Head
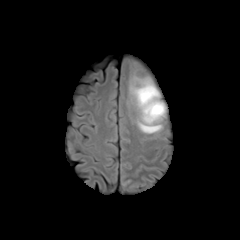
FLAIR MRI.
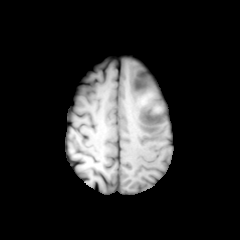
T1-weighted MR image.
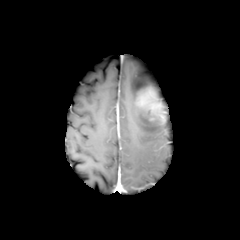
Post-contrast T1-weighted MR image.
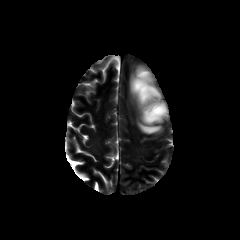
T2-weighted magnetic resonance.
{
  "peritumoral_edema": [
    "box=[129, 67, 166, 134]"
  ],
  "enhancing_tumor": [
    "box=[148, 104, 164, 120]",
    "box=[142, 89, 153, 99]"
  ]
}